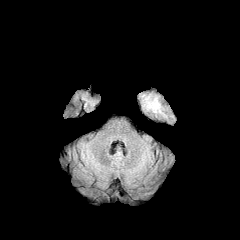
FLAIR magnetic resonance.
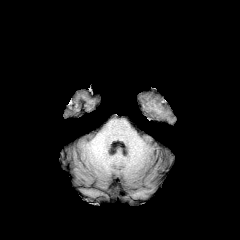
T1-weighted magnetic resonance of the same slice.
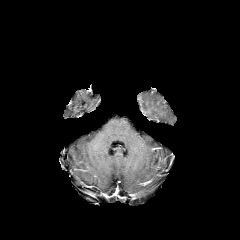
Post-contrast T1-weighted magnetic resonance of the same slice.
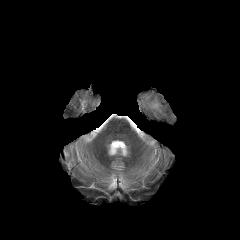
Same slice, T2-weighted MRI.
peritumoral edema: bounding box rect(145, 95, 160, 112)